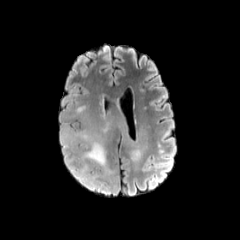
FLAIR MRI.
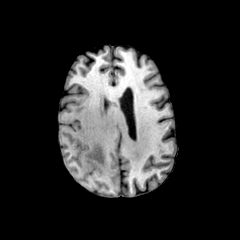
T1-weighted MR image.
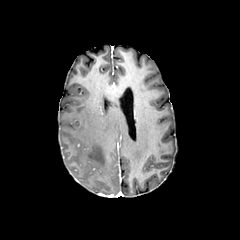
Same slice, post-contrast T1-weighted magnetic resonance.
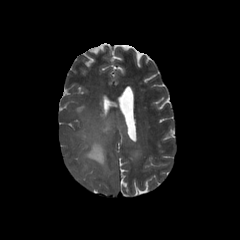
T2-weighted MRI of the same slice.
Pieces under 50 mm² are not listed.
peritumoral_edema:
  - <bbox>73, 124, 113, 176</bbox>
  - <bbox>88, 174, 99, 183</bbox>